Axial view, Slice 106/155, Brain
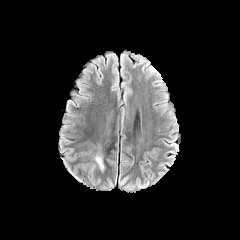
FLAIR MR.
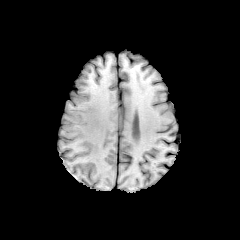
T1-weighted magnetic resonance.
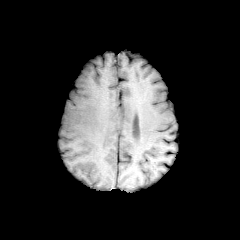
Post-contrast T1-weighted MRI.
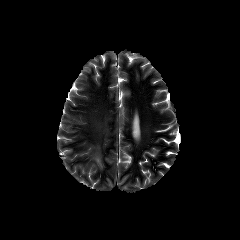
T2-weighted MR.
- peritumoral edema: (x1=85, y1=142, x2=106, y2=172)